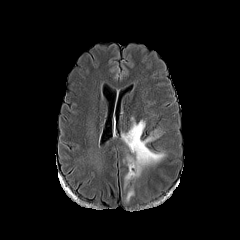
FLAIR MRI.
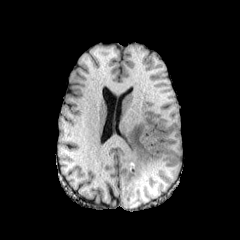
T1-weighted magnetic resonance.
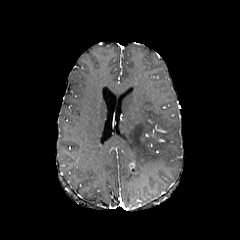
Post-contrast T1-weighted magnetic resonance of the same slice.
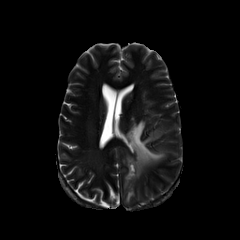
T2-weighted MR image.
Head, 240x240
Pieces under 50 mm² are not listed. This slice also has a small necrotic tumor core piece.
peritumoral_edema:
  - x1=126, y1=188, x2=133, y2=201
  - x1=122, y1=118, x2=165, y2=186
enhancing_tumor:
  - x1=128, y1=162, x2=137, y2=174